FLAIR magnetic resonance.
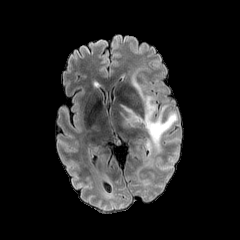
T1-weighted magnetic resonance.
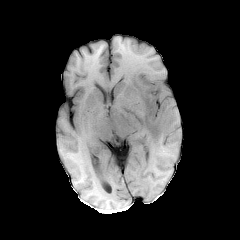
Post-contrast T1-weighted MR.
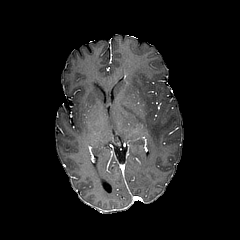
T2-weighted MRI.
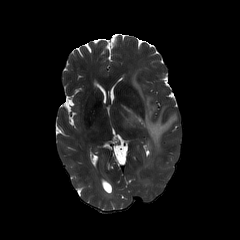
Axial plane. Image size 240x240.
• peritumoral edema: (120, 68, 177, 154)